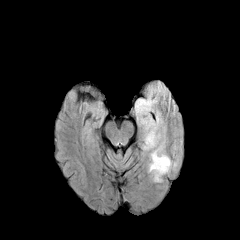
FLAIR MR image.
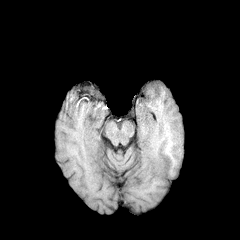
T1-weighted MRI of the same slice.
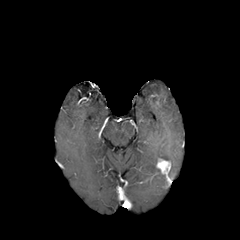
Same slice, post-contrast T1-weighted MR image.
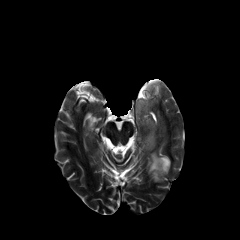
T2-weighted MR image.
Image size 240x240, Brain, Axial view
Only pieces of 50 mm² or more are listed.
peritumoral edema at (134,99,162,149), (148,145,170,181), (155,89,169,95)
enhancing tumor at (156,158,170,174)